Head. Slice 91/155.
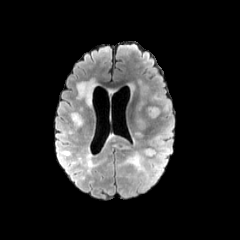
FLAIR MR image.
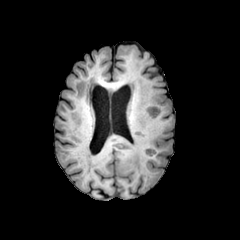
T1-weighted MRI of the same slice.
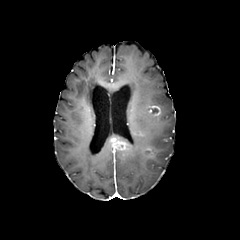
Same slice, post-contrast T1-weighted MR.
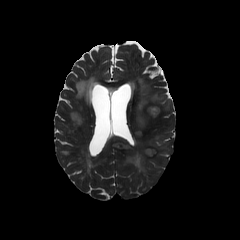
T2-weighted MR image.
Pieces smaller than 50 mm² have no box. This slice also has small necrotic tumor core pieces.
enhancing tumor at left=111, top=138, right=127, bottom=149; left=145, top=105, right=160, bottom=117
peritumoral edema at left=144, top=147, right=155, bottom=156; left=137, top=104, right=149, bottom=131; left=126, top=153, right=144, bottom=171